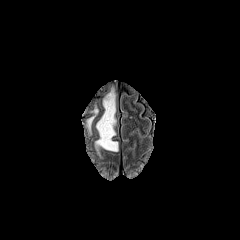
FLAIR MR.
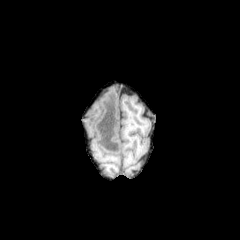
T1-weighted MRI.
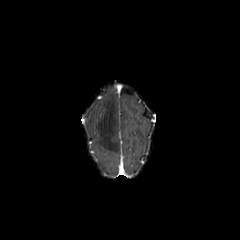
Post-contrast T1-weighted MR.
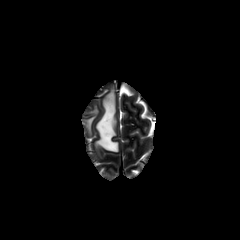
T2-weighted magnetic resonance of the same slice.
Image size 240x240, Axial view
Segmented structures:
• peritumoral edema: box(87, 107, 98, 133); box(95, 88, 118, 151)